Slice index 72, Image width 240 mm
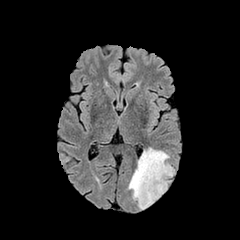
FLAIR magnetic resonance.
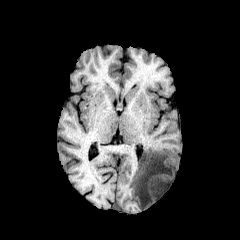
Same slice, T1-weighted MR image.
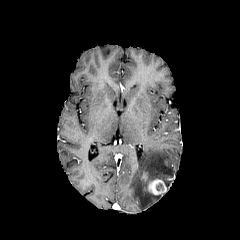
Post-contrast T1-weighted MRI.
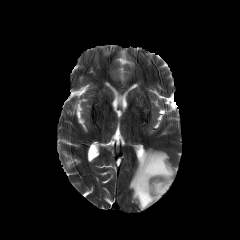
T2-weighted magnetic resonance of the same slice.
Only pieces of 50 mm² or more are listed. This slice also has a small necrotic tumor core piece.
The peritumoral edema is bounded by <box>128,148,174,209</box>. The 2 largest enhancing tumor regions are bounded by <box>147,178,166,194</box>, <box>141,172,147,181</box>.